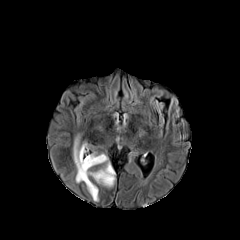
FLAIR magnetic resonance.
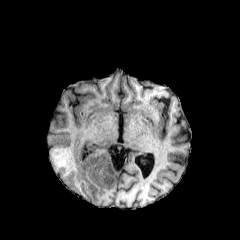
Same slice, T1-weighted magnetic resonance.
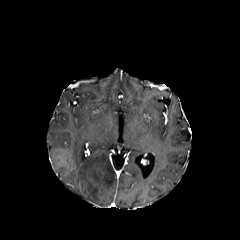
Post-contrast T1-weighted MR of the same slice.
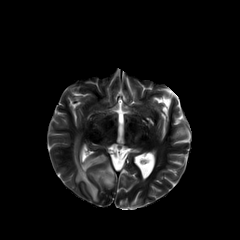
T2-weighted MR image.
Head
<segmentation>
  <peritumoral_edema>bbox(73, 136, 114, 201)</peritumoral_edema>
</segmentation>